Head. Axial view. 240x240.
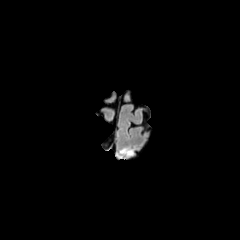
FLAIR MRI.
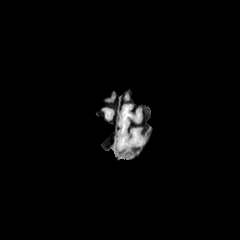
T1-weighted MR of the same slice.
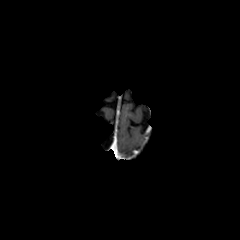
Post-contrast T1-weighted MR.
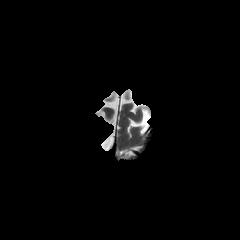
T2-weighted MR of the same slice.
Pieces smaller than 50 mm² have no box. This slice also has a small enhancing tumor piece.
{
  "peritumoral_edema": [
    "x1=120 y1=148 x2=133 y2=157"
  ]
}